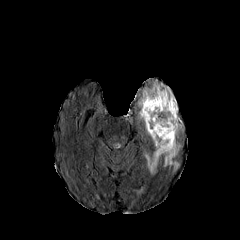
FLAIR magnetic resonance.
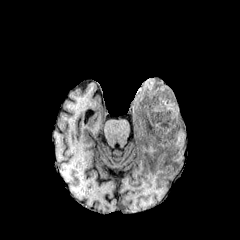
T1-weighted magnetic resonance of the same slice.
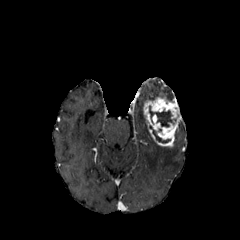
Post-contrast T1-weighted MRI of the same slice.
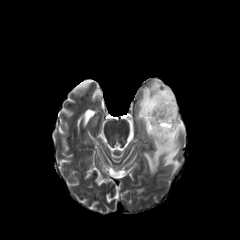
T2-weighted magnetic resonance.
Axial plane
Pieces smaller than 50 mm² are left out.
peritumoral edema: box=[179, 121, 184, 131]; box=[137, 81, 173, 134]; box=[144, 140, 180, 174] | necrotic tumor core: box=[149, 125, 170, 143]; box=[149, 106, 174, 127] | enhancing tumor: box=[143, 96, 180, 147]